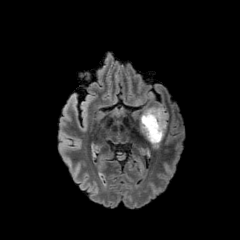
FLAIR MR image.
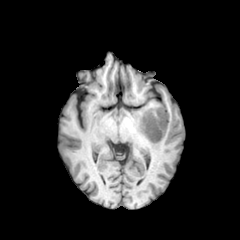
T1-weighted MR image.
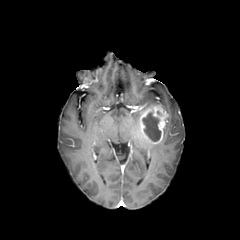
Same slice, post-contrast T1-weighted MRI.
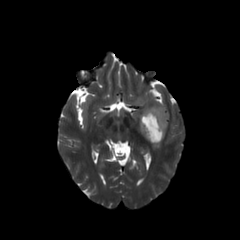
T2-weighted magnetic resonance.
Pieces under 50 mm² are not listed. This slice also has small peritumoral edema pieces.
enhancing tumor: 137,105,168,144 | necrotic tumor core: 143,112,160,141